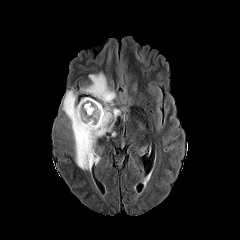
FLAIR MR image.
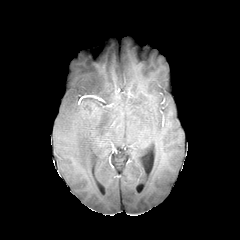
T1-weighted magnetic resonance.
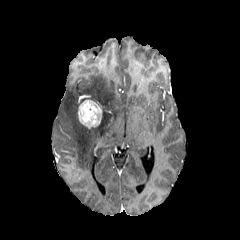
Same slice, post-contrast T1-weighted MR.
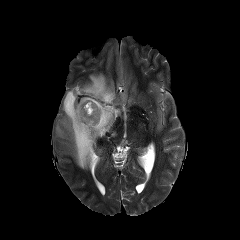
Same slice, T2-weighted MR.
Axial slice
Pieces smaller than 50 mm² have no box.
peritumoral edema at 62,73,120,170
enhancing tumor at 78,99,102,128